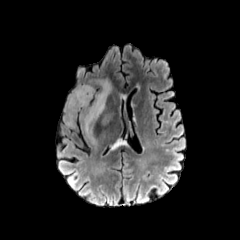
FLAIR MR.
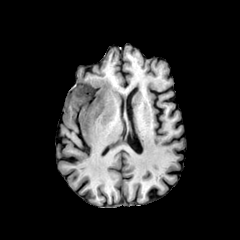
Same slice, T1-weighted MR image.
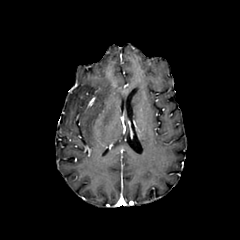
Post-contrast T1-weighted MR image.
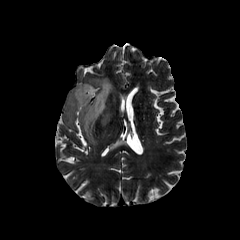
Same slice, T2-weighted MR.
Image size 240x240
peritumoral_edema:
  - 102:113:113:124
  - 66:79:112:142